Brain. Slice 78/155. Axial view. 240x240.
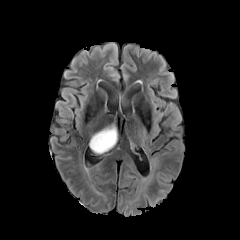
FLAIR MR.
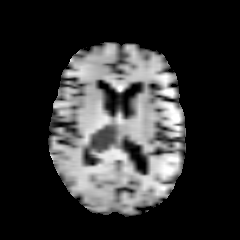
T1-weighted MR image.
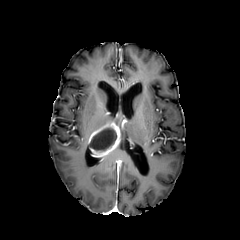
Post-contrast T1-weighted MR.
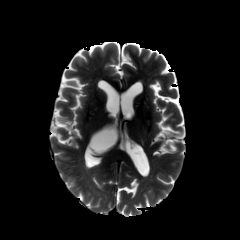
T2-weighted magnetic resonance.
necrotic_tumor_core:
  - {"x1": 90, "y1": 129, "x2": 116, "y2": 150}
enhancing_tumor:
  - {"x1": 88, "y1": 122, "x2": 120, "y2": 157}